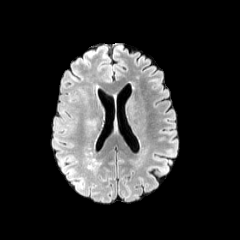
FLAIR MR.
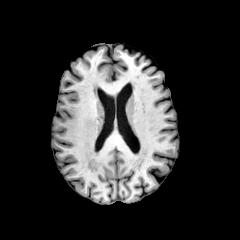
Same slice, T1-weighted MRI.
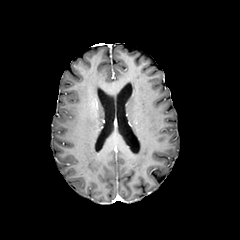
Post-contrast T1-weighted MRI.
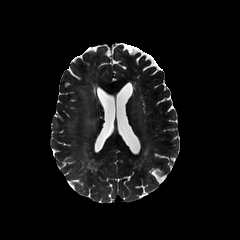
T2-weighted MR.
Head, Image size 240x240
<segmentation>
  <peritumoral_edema><bbox>85, 116, 98, 125</bbox>, <bbox>79, 89, 88, 98</bbox></peritumoral_edema>
</segmentation>